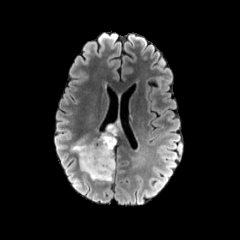
FLAIR MRI.
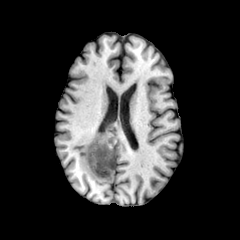
T1-weighted MR.
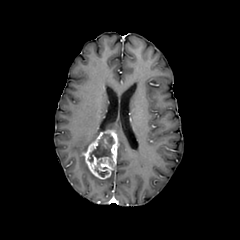
Post-contrast T1-weighted MR of the same slice.
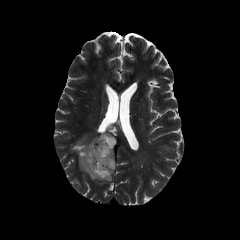
T2-weighted MR.
Brain.
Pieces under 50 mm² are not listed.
peritumoral edema: l=72, t=139, r=100, b=179
necrotic tumor core: l=88, t=134, r=114, b=161; l=95, t=168, r=108, b=176
enhancing tumor: l=82, t=129, r=117, b=179